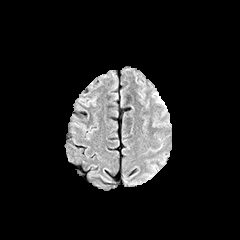
FLAIR MR.
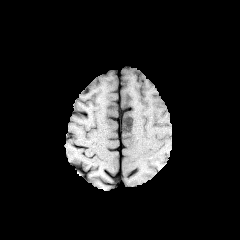
Same slice, T1-weighted MRI.
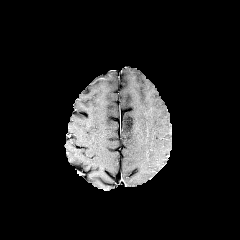
Post-contrast T1-weighted magnetic resonance.
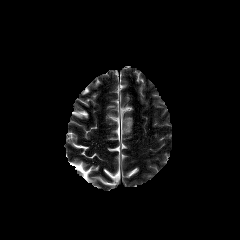
T2-weighted magnetic resonance.
Brain
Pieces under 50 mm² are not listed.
• peritumoral edema: left=151, top=91, right=167, bottom=116; left=152, top=116, right=169, bottom=127